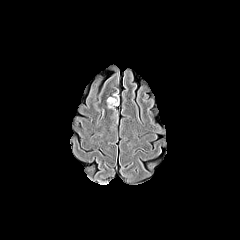
FLAIR MR.
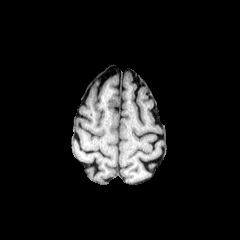
T1-weighted MR.
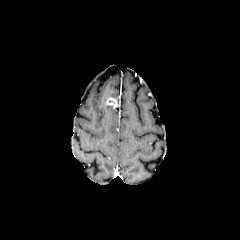
Same slice, post-contrast T1-weighted MR image.
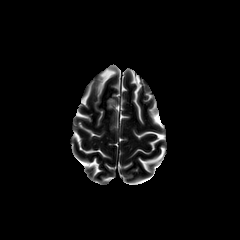
Same slice, T2-weighted MR.
Image size 240x240; Brain; Axial view
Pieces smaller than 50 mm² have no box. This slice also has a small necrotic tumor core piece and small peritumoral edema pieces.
Segmented structures:
• enhancing tumor: (left=107, top=98, right=117, bottom=108)